Head. Slice 70/155. Axial slice. 240x240 px. Image covers 240 mm x 240 mm.
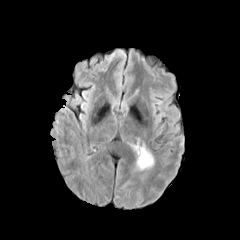
FLAIR MR.
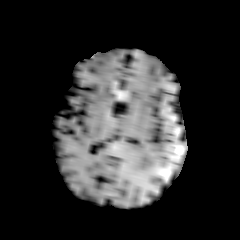
T1-weighted MR of the same slice.
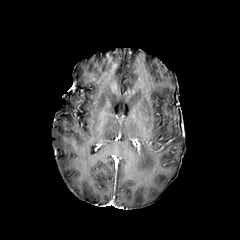
Same slice, post-contrast T1-weighted MRI.
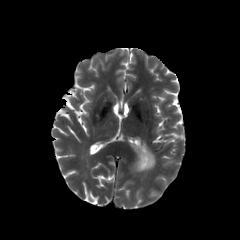
T2-weighted magnetic resonance of the same slice.
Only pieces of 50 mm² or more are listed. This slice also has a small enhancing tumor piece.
The peritumoral edema lies within 135, 142, 154, 171.